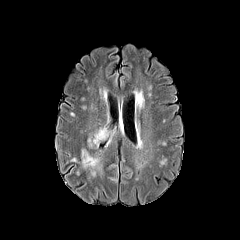
FLAIR MR.
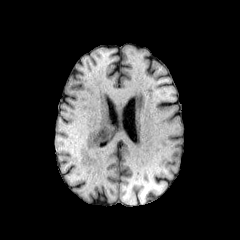
T1-weighted MR of the same slice.
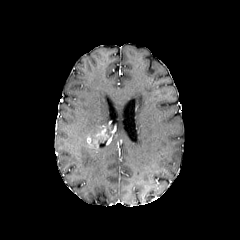
Same slice, post-contrast T1-weighted MR.
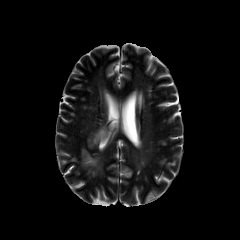
T2-weighted MR image of the same slice.
Axial plane. Brain.
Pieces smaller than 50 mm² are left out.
The largest peritumoral edema region is located at (81,149,102,176). The enhancing tumor appears at (87,126,110,148).